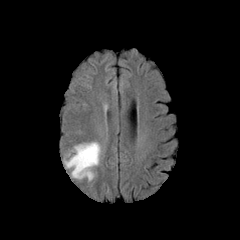
FLAIR magnetic resonance.
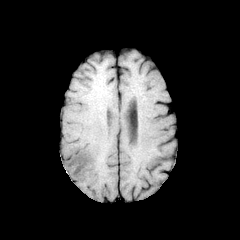
T1-weighted magnetic resonance.
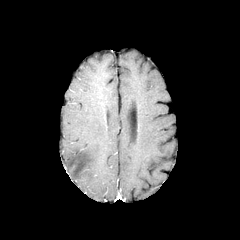
Post-contrast T1-weighted MR image of the same slice.
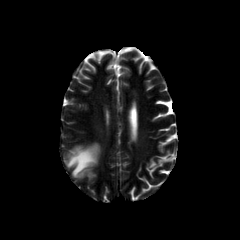
T2-weighted magnetic resonance.
Brain | Image size 240x240
peritumoral edema: bounding box (64, 142, 101, 180)